FLAIR MR.
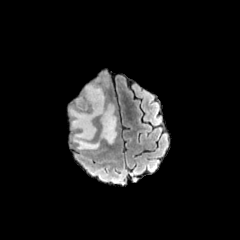
T1-weighted MRI.
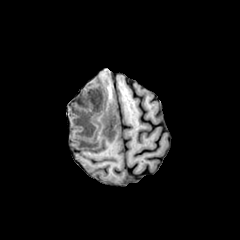
Post-contrast T1-weighted MRI.
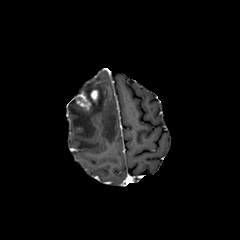
T2-weighted MR image.
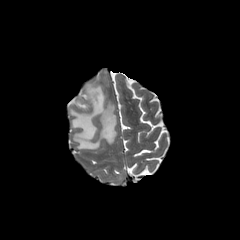
Axial view
2 enhancing tumor regions are bounded by rect(76, 91, 91, 110); rect(90, 89, 98, 101). The peritumoral edema is located at rect(70, 82, 116, 149).